Image width 240 mm, 1.00 mm slice spacing; Slice index 95; Image size 240x240; Axial view
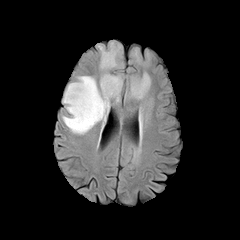
FLAIR MRI.
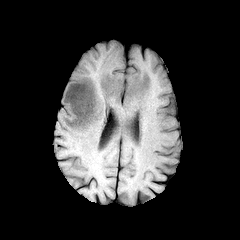
Same slice, T1-weighted MRI.
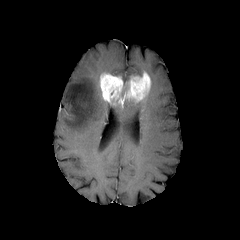
Same slice, post-contrast T1-weighted MR.
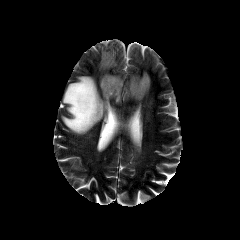
Same slice, T2-weighted MR.
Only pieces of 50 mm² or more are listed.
Segmented structures:
* enhancing tumor: 99:72:150:103
* peritumoral edema: 62:75:110:134, 139:106:142:123, 99:43:120:72